FLAIR MR.
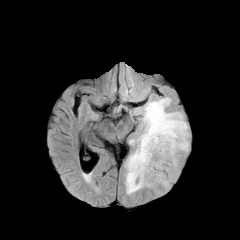
T1-weighted MR.
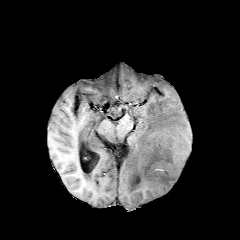
Post-contrast T1-weighted magnetic resonance.
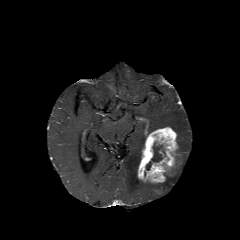
T2-weighted MR.
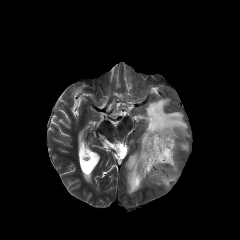
Brain | Axial slice
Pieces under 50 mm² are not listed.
enhancing_tumor:
  - [x1=137, y1=127, x2=178, y2=183]
peritumoral_edema:
  - [x1=125, y1=97, x2=189, y2=194]
necrotic_tumor_core:
  - [x1=146, y1=142, x2=162, y2=170]